Image covers 240 mm x 240 mm
FLAIR magnetic resonance.
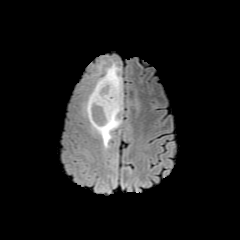
T1-weighted MR.
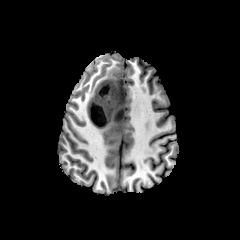
Post-contrast T1-weighted MR image.
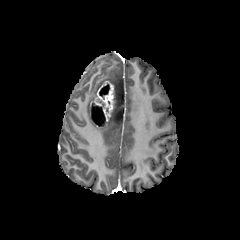
T2-weighted MR.
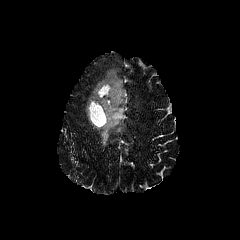
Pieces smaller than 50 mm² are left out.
necrotic tumor core: 99:83:109:99, 91:102:105:125 | peritumoral edema: 85:62:123:148 | enhancing tumor: 92:81:114:127